Slice 127/155
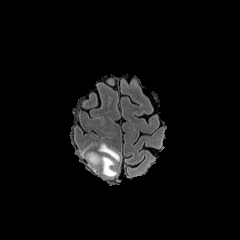
FLAIR MR image.
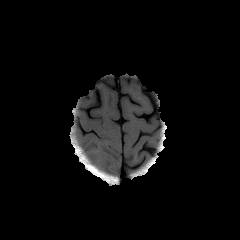
T1-weighted MR.
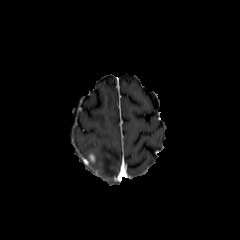
Post-contrast T1-weighted MRI.
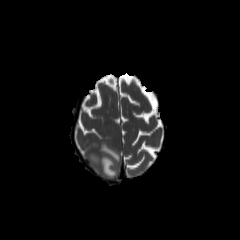
T2-weighted MRI.
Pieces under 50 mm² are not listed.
enhancing tumor: box=[86, 154, 95, 162] | peritumoral edema: box=[85, 143, 120, 177]